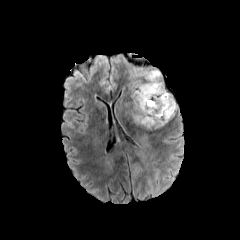
FLAIR MRI.
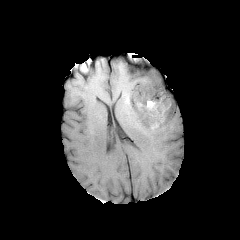
Same slice, T1-weighted MR.
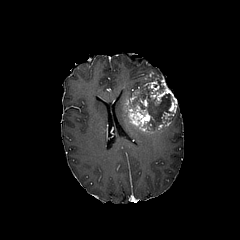
Post-contrast T1-weighted MR image.
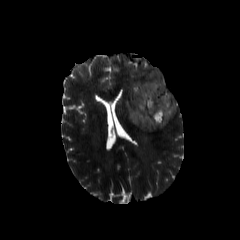
Same slice, T2-weighted MR image.
Head
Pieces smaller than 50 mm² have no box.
enhancing tumor: <bbox>124, 72, 178, 133</bbox> | peritumoral edema: <bbox>131, 81, 144, 90</bbox>, <bbox>137, 70, 159, 78</bbox> | necrotic tumor core: <bbox>133, 84, 171, 126</bbox>